Axial view | Head | Slice 92 of 155
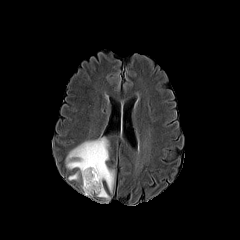
FLAIR MR.
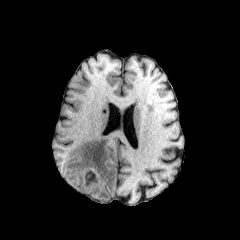
T1-weighted magnetic resonance.
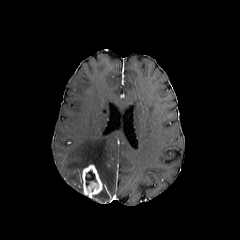
Post-contrast T1-weighted MR.
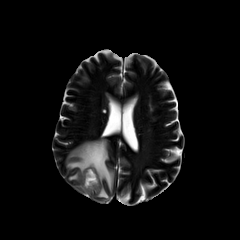
Same slice, T2-weighted MR image.
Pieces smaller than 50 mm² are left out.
The 2 largest peritumoral edema regions are bounded by left=96, top=187, right=109, bottom=199; left=66, top=137, right=114, bottom=192. The necrotic tumor core is at left=85, top=169, right=96, bottom=186. The enhancing tumor lies within left=82, top=164, right=102, bottom=196.